FLAIR MRI.
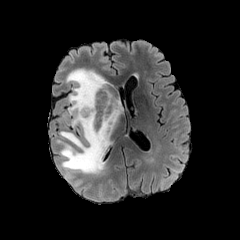
T1-weighted MR.
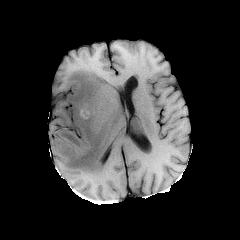
Post-contrast T1-weighted MR image.
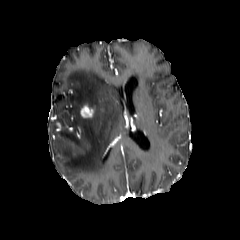
T2-weighted MR image.
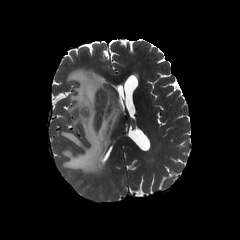
240x240; Head
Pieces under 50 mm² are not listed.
peritumoral_edema:
  - <box>60,68,123,174</box>
enhancing_tumor:
  - <box>80,103,94,118</box>